FLAIR MRI.
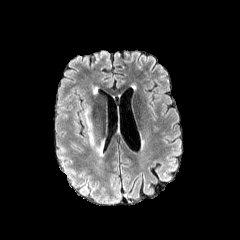
T1-weighted MR.
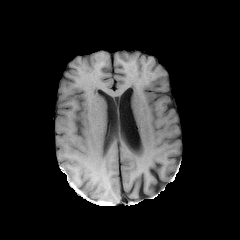
Post-contrast T1-weighted MR image.
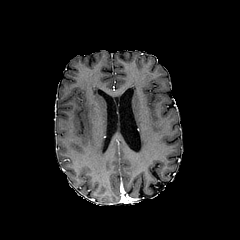
T2-weighted MR image.
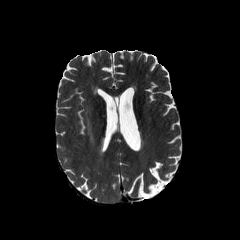
Axial slice
{
  "peritumoral_edema": [
    "[85, 106, 105, 156]"
  ]
}